Head; Axial slice; Slice 79/155
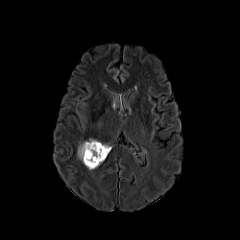
FLAIR MR.
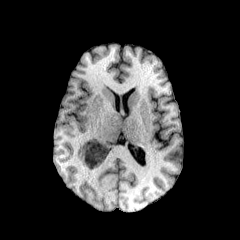
T1-weighted magnetic resonance.
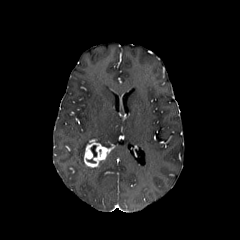
Same slice, post-contrast T1-weighted MRI.
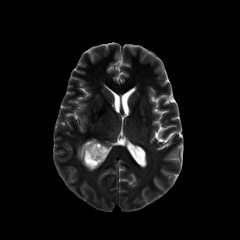
Same slice, T2-weighted MR.
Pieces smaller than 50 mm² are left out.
<segmentation>
  <necrotic_tumor_core>region(91, 145, 97, 156)</necrotic_tumor_core>
  <peritumoral_edema>region(77, 141, 89, 164)</peritumoral_edema>
  <enhancing_tumor>region(84, 140, 110, 167)</enhancing_tumor>
</segmentation>